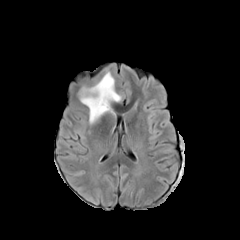
FLAIR magnetic resonance.
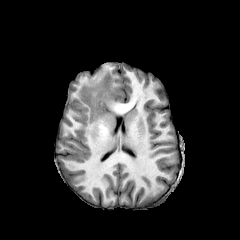
T1-weighted MR of the same slice.
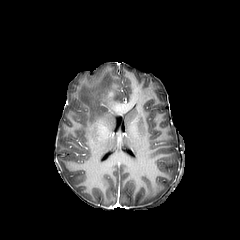
Post-contrast T1-weighted MRI.
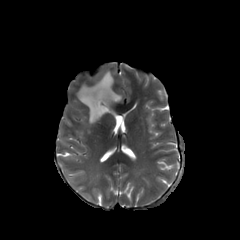
Same slice, T2-weighted MR image.
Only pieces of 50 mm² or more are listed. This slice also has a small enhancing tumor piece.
{"peritumoral_edema": ["<bbox>78, 71, 121, 123</bbox>"]}